Head, Axial slice, Slice 78/155, Image size 240x240
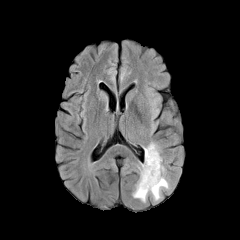
FLAIR MR image.
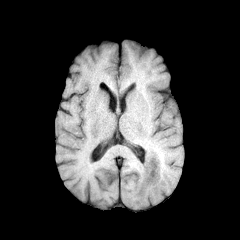
T1-weighted magnetic resonance of the same slice.
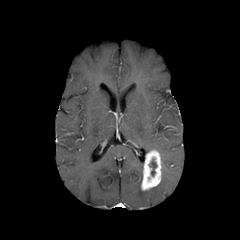
Post-contrast T1-weighted MR image.
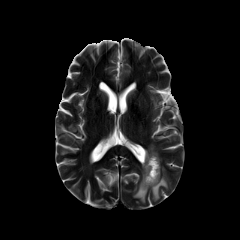
T2-weighted MRI.
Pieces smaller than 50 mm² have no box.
The 2 largest peritumoral edema regions are located at l=133, t=163, r=169, b=202; l=144, t=142, r=159, b=155. The necrotic tumor core is at l=150, t=159, r=156, b=176. The enhancing tumor is located at l=141, t=150, r=161, b=190.